FLAIR MRI.
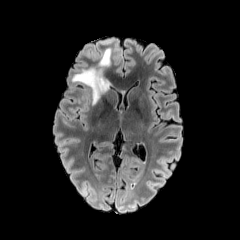
T1-weighted magnetic resonance.
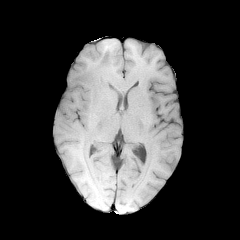
Post-contrast T1-weighted MRI.
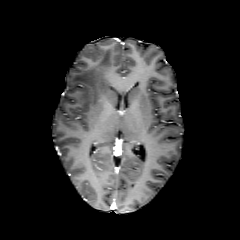
T2-weighted MRI.
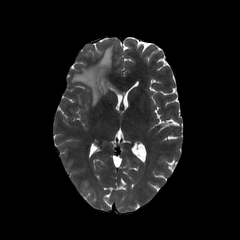
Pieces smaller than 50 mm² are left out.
<segmentation>
  <peritumoral_edema>x1=71, y1=48, x2=111, y2=105</peritumoral_edema>
</segmentation>